Image size 240x240; Axial slice
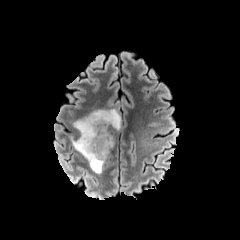
FLAIR MR.
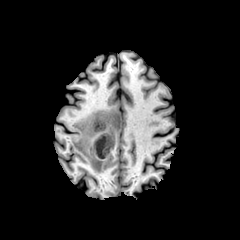
T1-weighted MR image of the same slice.
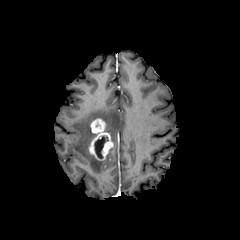
Post-contrast T1-weighted MR image.
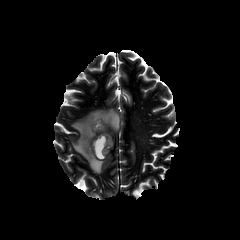
T2-weighted magnetic resonance.
necrotic_tumor_core:
  - [x1=94, y1=136, x2=108, y2=158]
peritumoral_edema:
  - [x1=71, y1=109, x2=121, y2=173]
enhancing_tumor:
  - [x1=89, y1=118, x2=113, y2=160]